Head. Slice index 31. Axial view.
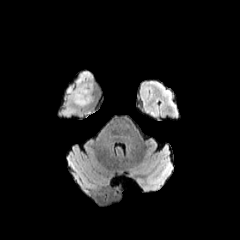
FLAIR MRI.
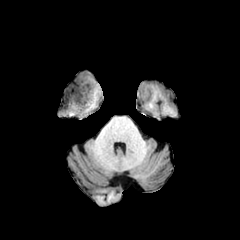
T1-weighted magnetic resonance.
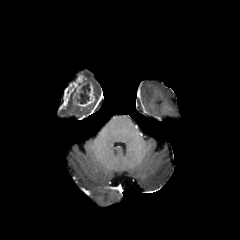
Same slice, post-contrast T1-weighted magnetic resonance.
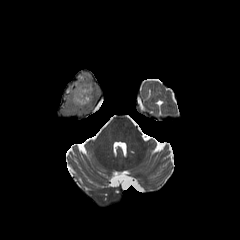
T2-weighted MRI.
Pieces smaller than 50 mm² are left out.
The 2 largest peritumoral edema regions are located at (63, 109, 75, 114), (82, 72, 91, 80). The enhancing tumor lies within (62, 74, 94, 107). The largest necrotic tumor core region is located at (77, 82, 90, 103).